Axial slice, Image width 240 mm, Slice 108 of 155, Brain
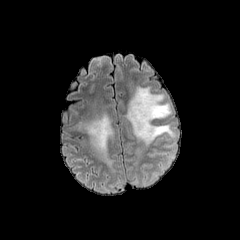
FLAIR MR.
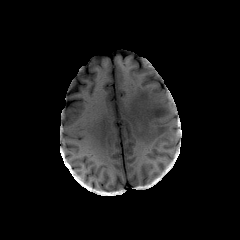
T1-weighted MR.
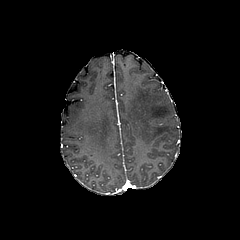
Post-contrast T1-weighted MRI.
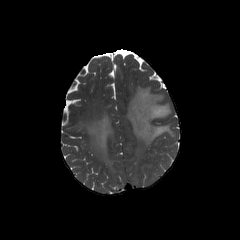
T2-weighted MR.
peritumoral_edema:
  - box(125, 86, 175, 146)
  - box(77, 113, 113, 166)